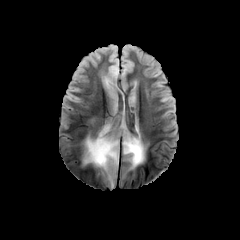
FLAIR MR.
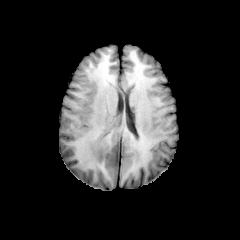
T1-weighted MRI.
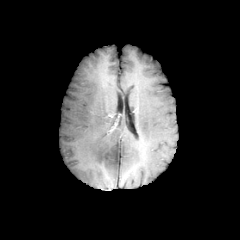
Post-contrast T1-weighted MR image.
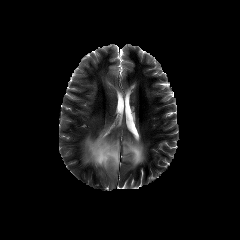
T2-weighted MR.
Brain. Image size 240x240.
peritumoral edema = left=83, top=125, right=118, bottom=171; left=123, top=137, right=144, bottom=167